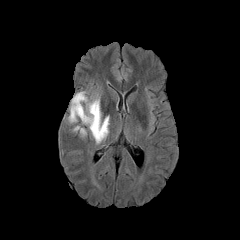
FLAIR MRI.
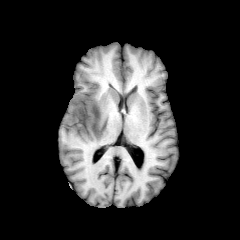
T1-weighted MRI of the same slice.
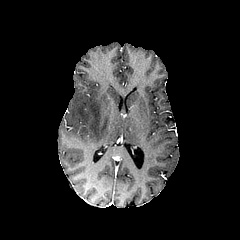
Same slice, post-contrast T1-weighted MRI.
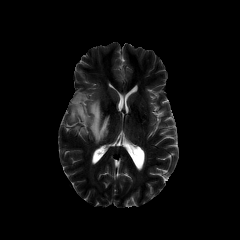
T2-weighted MRI.
Image size 240x240
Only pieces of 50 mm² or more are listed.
peritumoral edema at 68, 92, 109, 143